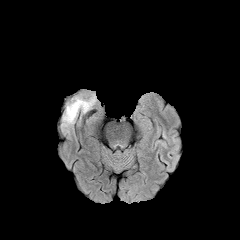
FLAIR MR image.
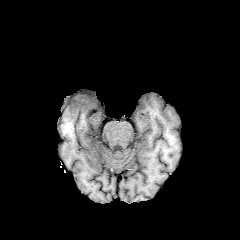
T1-weighted magnetic resonance.
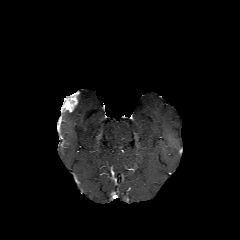
Post-contrast T1-weighted MR image.
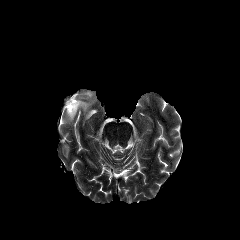
T2-weighted MR image.
Axial view
Segmented structures:
• peritumoral edema: x1=61 y1=91 x2=97 y2=128
• enhancing tumor: x1=63 y1=92 x2=79 y2=112